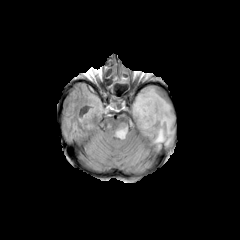
FLAIR MRI.
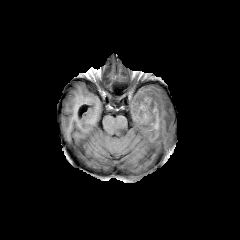
T1-weighted magnetic resonance.
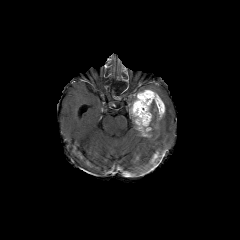
Post-contrast T1-weighted MRI of the same slice.
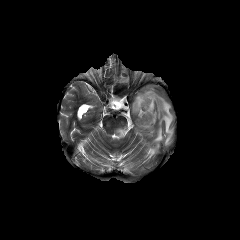
T2-weighted magnetic resonance.
Axial plane. Brain.
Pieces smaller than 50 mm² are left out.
peritumoral_edema:
  - (x1=117, y1=124, x2=127, y2=138)
  - (x1=148, y1=97, x2=173, y2=148)
enhancing_tumor:
  - (x1=129, y1=89, x2=165, y2=136)